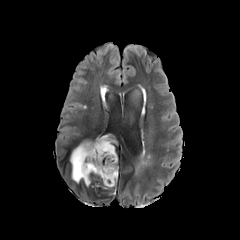
FLAIR magnetic resonance.
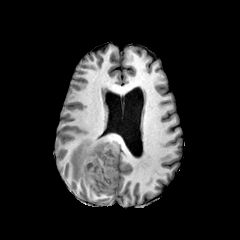
T1-weighted magnetic resonance of the same slice.
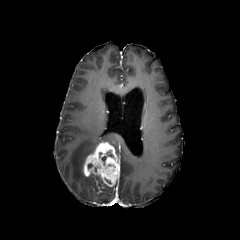
Post-contrast T1-weighted MR of the same slice.
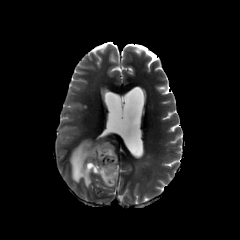
T2-weighted MR of the same slice.
Axial slice.
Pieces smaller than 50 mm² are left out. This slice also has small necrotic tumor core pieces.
enhancing tumor: [x1=83, y1=142, x2=119, y2=186] | peritumoral edema: [x1=70, y1=135, x2=115, y2=187]